240x240. Image covers 240 mm x 240 mm.
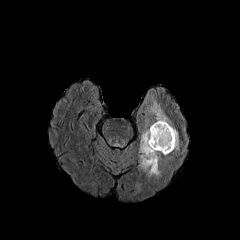
FLAIR MR image.
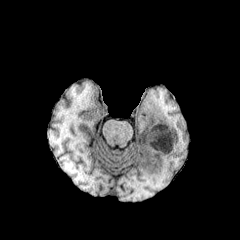
T1-weighted MR of the same slice.
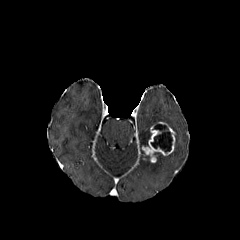
Post-contrast T1-weighted MRI.
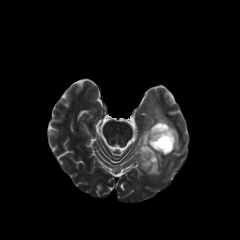
Same slice, T2-weighted MR image.
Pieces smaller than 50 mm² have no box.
<segmentation>
  <necrotic_tumor_core>bbox(151, 123, 172, 152)</necrotic_tumor_core>
  <peritumoral_edema>bbox(138, 129, 151, 153); bbox(148, 100, 179, 150); bbox(138, 152, 161, 176)</peritumoral_edema>
  <enhancing_tumor>bbox(142, 121, 175, 162)</enhancing_tumor>
</segmentation>